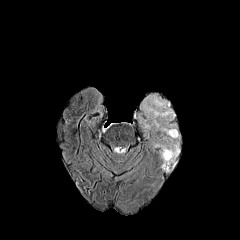
FLAIR magnetic resonance.
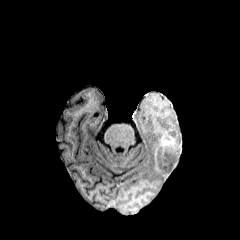
T1-weighted MR image.
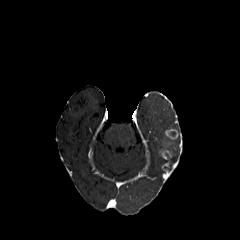
Same slice, post-contrast T1-weighted MR.
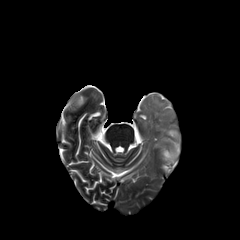
T2-weighted magnetic resonance.
Axial plane; Image size 240x240
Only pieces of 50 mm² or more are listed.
necrotic tumor core = left=164, top=155, right=175, bottom=171
peritumoral edema = left=147, top=97, right=174, bottom=120; left=154, top=137, right=179, bottom=160
enhancing tumor = left=165, top=128, right=178, bottom=139; left=160, top=149, right=172, bottom=173